FLAIR MR image.
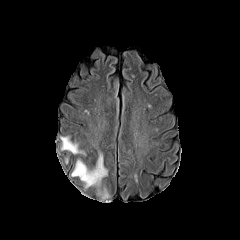
T1-weighted MRI.
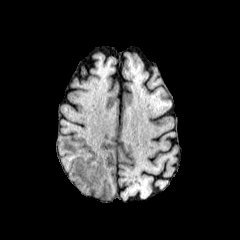
Post-contrast T1-weighted magnetic resonance.
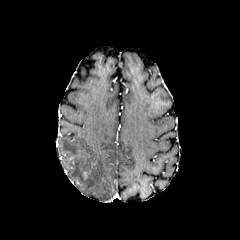
T2-weighted MRI.
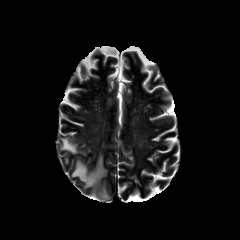
Axial view; 240x240 px; Brain
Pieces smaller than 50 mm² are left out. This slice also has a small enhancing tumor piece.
{"peritumoral_edema": ["left=71, top=152, right=109, bottom=199", "left=61, top=137, right=85, bottom=154"]}